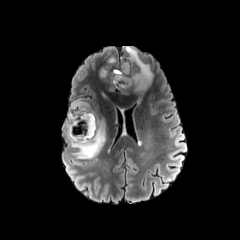
FLAIR magnetic resonance.
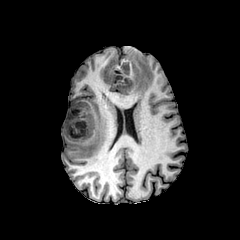
T1-weighted MR image.
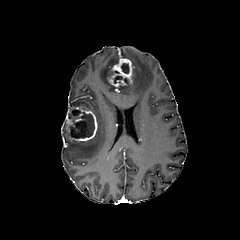
Post-contrast T1-weighted MR image.
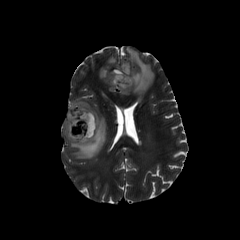
T2-weighted MR image.
Axial plane
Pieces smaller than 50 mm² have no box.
<segmentation>
  <enhancing_tumor>(64,106,97,141), (107,58,134,87)</enhancing_tumor>
  <necrotic_tumor_core>(121,63,129,73), (69,112,94,138), (68,109,80,118)</necrotic_tumor_core>
  <peritumoral_edema>(123,46,153,94), (67,116,105,158), (100,68,111,78), (70,99,89,109)</peritumoral_edema>
</segmentation>